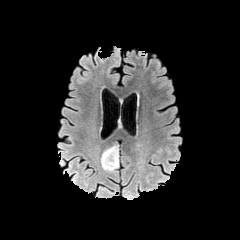
FLAIR MR image.
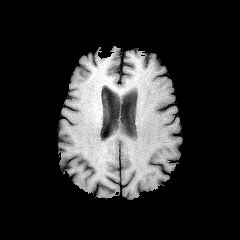
T1-weighted magnetic resonance of the same slice.
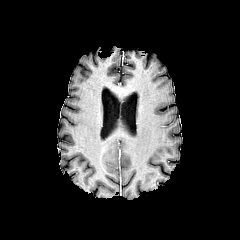
Post-contrast T1-weighted MR image.
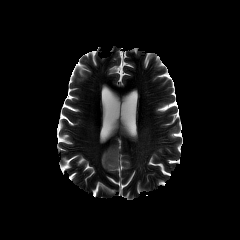
T2-weighted MR.
Head, Axial plane
peritumoral_edema:
  - x1=101, y1=145, x2=118, y2=171